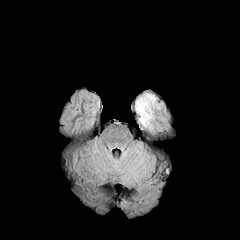
FLAIR MR image.
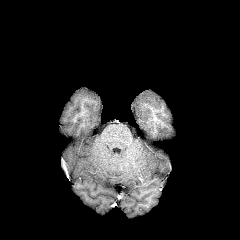
Same slice, T1-weighted MRI.
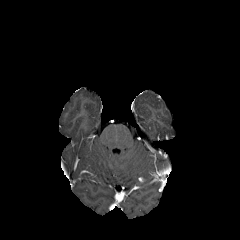
Same slice, post-contrast T1-weighted MR image.
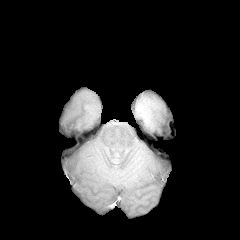
Same slice, T2-weighted MR image.
240x240
peritumoral_edema:
  - l=135, t=93, r=159, b=129